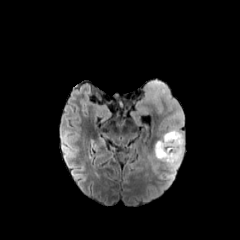
FLAIR MR image.
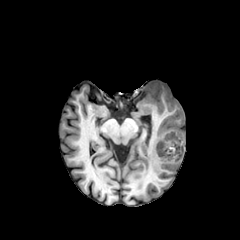
T1-weighted magnetic resonance.
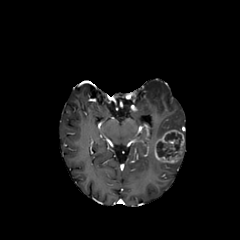
Post-contrast T1-weighted magnetic resonance.
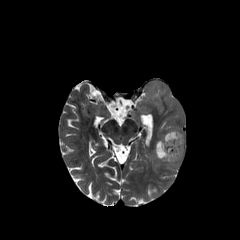
Same slice, T2-weighted MR image.
Axial view.
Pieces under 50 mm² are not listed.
enhancing tumor: (154, 129, 184, 163) | necrotic tumor core: (157, 132, 181, 157) | peritumoral edema: (167, 158, 181, 170), (151, 153, 159, 172), (134, 79, 184, 136)